FLAIR MR image.
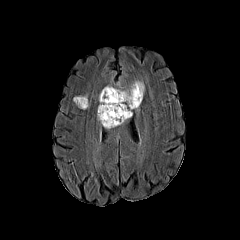
T1-weighted MRI.
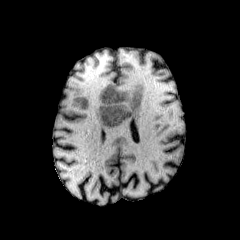
Post-contrast T1-weighted MRI.
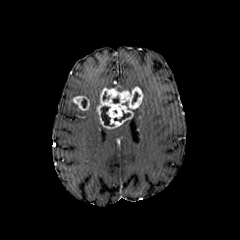
T2-weighted magnetic resonance.
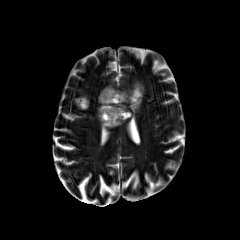
Axial slice; Head
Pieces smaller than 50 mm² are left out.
{"peritumoral_edema": ["rect(127, 81, 144, 93)"], "necrotic_tumor_core": ["rect(132, 92, 139, 104)", "rect(114, 111, 130, 121)", "rect(100, 106, 114, 126)"], "enhancing_tumor": ["rect(96, 86, 143, 128)", "rect(73, 96, 89, 110)"]}